FLAIR MR image.
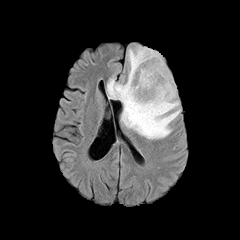
T1-weighted MR image.
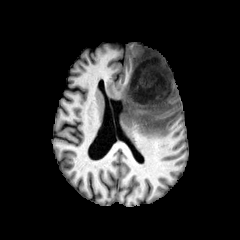
Post-contrast T1-weighted MR image.
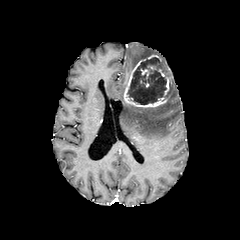
T2-weighted MR image.
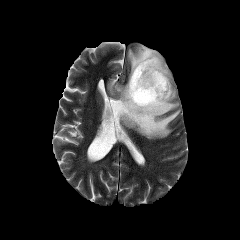
Brain | Axial plane
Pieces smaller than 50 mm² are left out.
The 3 largest enhancing tumor regions appear at (158,69,170,95), (141,66,156,80), (124,59,167,107). The peritumoral edema appears at (107,45,180,139). The necrotic tumor core is located at (127,57,169,104).